FLAIR MRI.
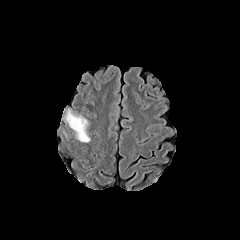
T1-weighted MR.
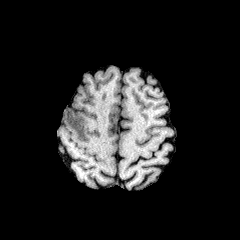
Post-contrast T1-weighted magnetic resonance.
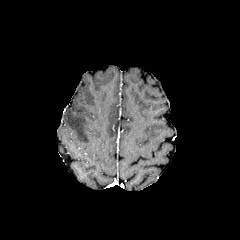
T2-weighted MRI.
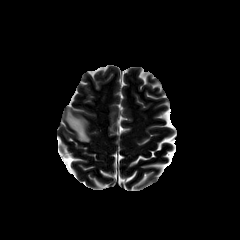
Brain
peritumoral edema: bounding box box=[65, 109, 90, 142]